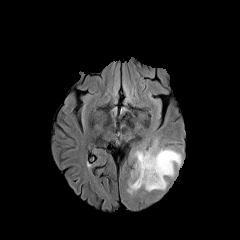
FLAIR MRI.
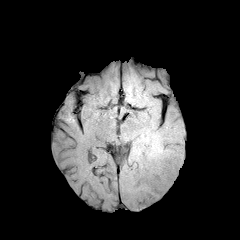
T1-weighted MRI of the same slice.
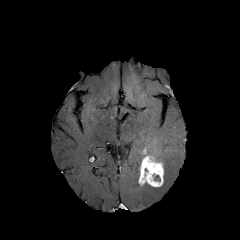
Same slice, post-contrast T1-weighted magnetic resonance.
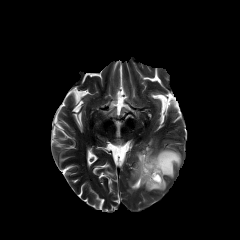
Same slice, T2-weighted magnetic resonance.
Brain.
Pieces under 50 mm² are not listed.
necrotic tumor core at [151, 174, 161, 181]
peritumoral edema at [127, 144, 182, 193]
enhancing tumor at [138, 150, 164, 187]